FLAIR MR.
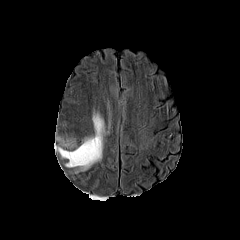
T1-weighted MRI.
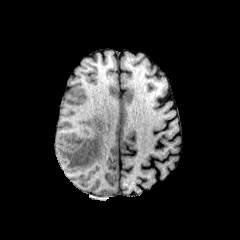
Post-contrast T1-weighted MR image.
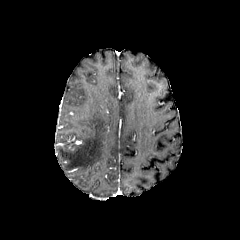
T2-weighted MR.
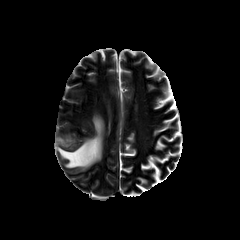
Brain; Image size 240x240
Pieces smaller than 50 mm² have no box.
peritumoral_edema:
  - rect(56, 114, 104, 170)